FLAIR MRI.
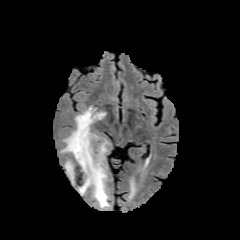
T1-weighted MR.
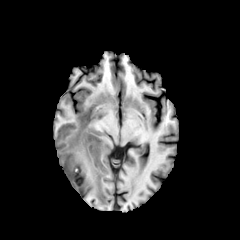
Post-contrast T1-weighted magnetic resonance.
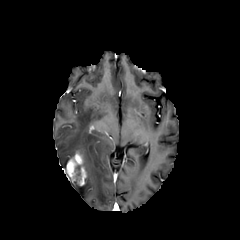
T2-weighted MRI.
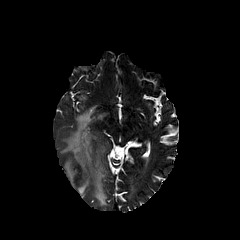
Image size 240x240; Head; Axial view
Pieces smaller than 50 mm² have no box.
peritumoral edema: bounding box [x1=60, y1=106, x2=109, y2=207]
enhancing tumor: bounding box [x1=66, y1=149, x2=87, y2=188]
necrotic tumor core: bounding box [x1=75, y1=165, x2=80, y2=180]